FLAIR MRI.
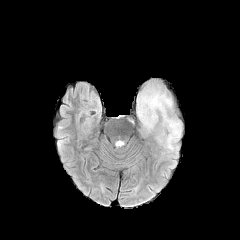
T1-weighted MR image.
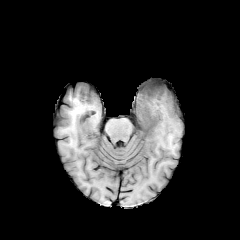
Post-contrast T1-weighted MR image.
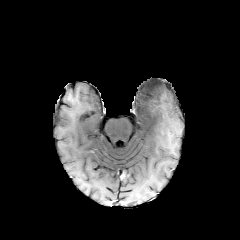
T2-weighted MR.
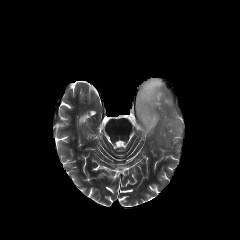
Axial plane; Brain
peritumoral edema: bounding box <bbox>135, 78, 184, 149</bbox>